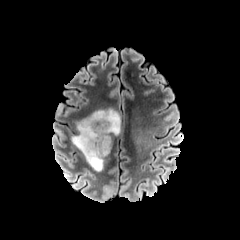
FLAIR MRI.
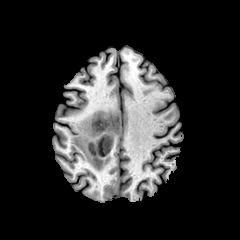
T1-weighted MR image.
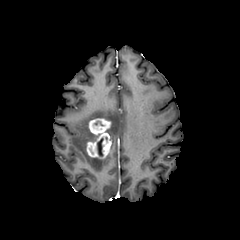
Post-contrast T1-weighted magnetic resonance.
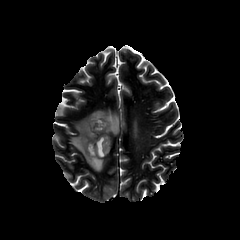
T2-weighted MR of the same slice.
Axial slice
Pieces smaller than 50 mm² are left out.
enhancing_tumor:
  - 88:118:111:135
  - 87:133:111:158
peritumoral_edema:
  - 71:109:120:171
necrotic_tumor_core:
  - 97:138:103:156